FLAIR magnetic resonance.
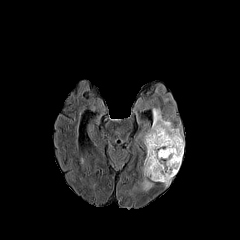
T1-weighted MR.
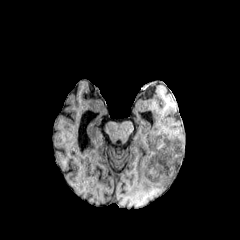
Post-contrast T1-weighted MR.
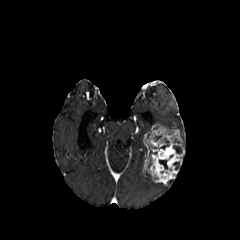
T2-weighted MRI.
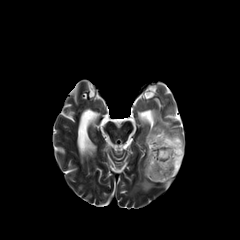
240x240 px.
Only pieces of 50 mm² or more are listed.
<segmentation>
  <enhancing_tumor>142:123:184:185</enhancing_tumor>
  <peritumoral_edema>141:176:152:190, 153:109:174:129</peritumoral_edema>
  <necrotic_tumor_core>173:145:181:153, 159:160:167:169, 159:138:169:149</necrotic_tumor_core>
</segmentation>